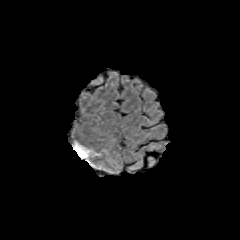
FLAIR magnetic resonance.
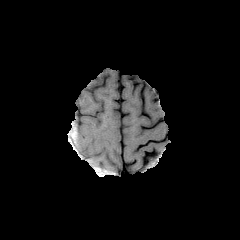
T1-weighted MR image of the same slice.
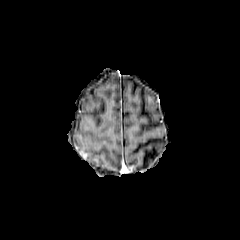
Post-contrast T1-weighted MR image.
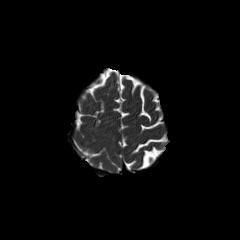
T2-weighted magnetic resonance.
Head.
<segmentation>
  <peritumoral_edema>(74, 143, 93, 162)</peritumoral_edema>
</segmentation>